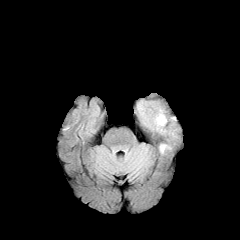
FLAIR magnetic resonance.
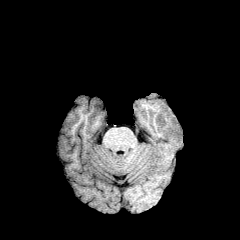
T1-weighted MR image.
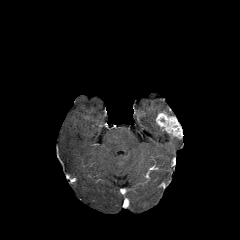
Post-contrast T1-weighted magnetic resonance of the same slice.
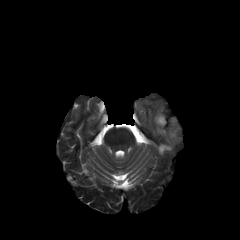
Same slice, T2-weighted MR.
Axial slice
The enhancing tumor lies within [x1=156, y1=111, x2=182, y2=138]. 2 peritumoral edema regions are bounded by [x1=159, y1=144, x2=170, y2=153], [x1=153, y1=108, x2=167, y2=133].